Axial view; Head; Slice 77/155; 240x240 px
FLAIR MR image.
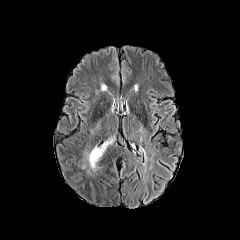
T1-weighted magnetic resonance.
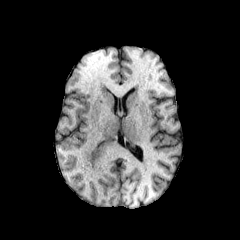
Post-contrast T1-weighted MR.
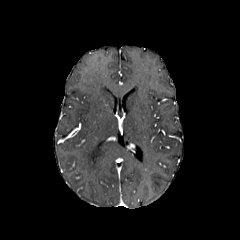
T2-weighted MRI.
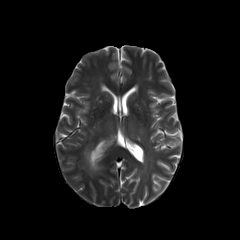
peritumoral edema at box=[86, 139, 112, 171]